FLAIR magnetic resonance.
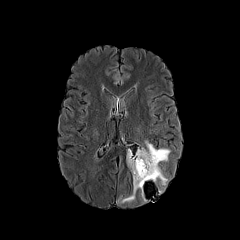
T1-weighted MRI.
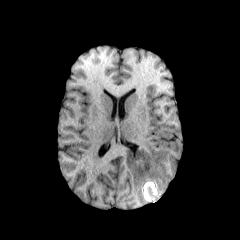
Post-contrast T1-weighted MR image.
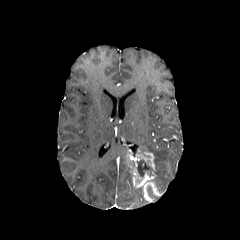
T2-weighted magnetic resonance.
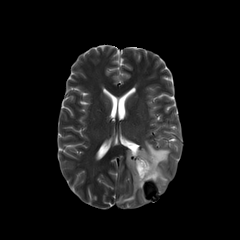
Brain; Axial plane
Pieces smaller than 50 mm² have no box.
enhancing tumor = bbox(127, 149, 156, 188)
peritumoral edema = bbox(141, 141, 170, 188); bbox(117, 186, 137, 203)
necrotic tumor core = bbox(136, 160, 152, 177)